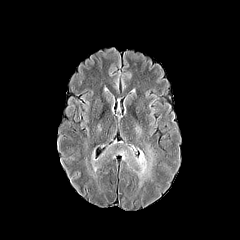
FLAIR MRI.
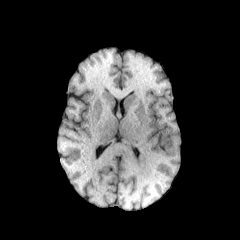
Same slice, T1-weighted MR.
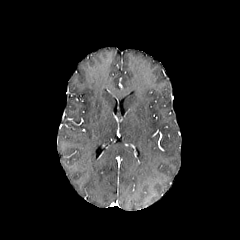
Post-contrast T1-weighted MRI.
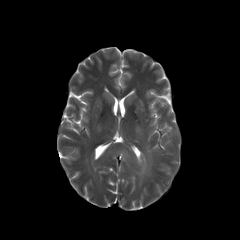
T2-weighted MR of the same slice.
Head, Axial view
Findings:
- peritumoral edema: rect(90, 139, 156, 188)